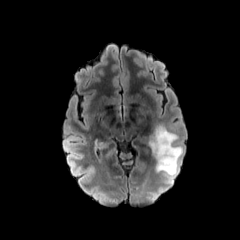
FLAIR magnetic resonance.
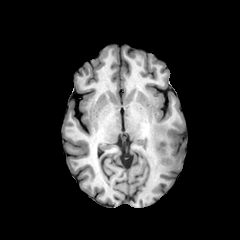
Same slice, T1-weighted MRI.
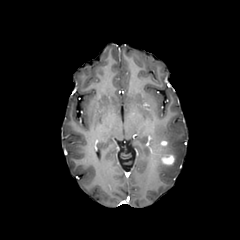
Post-contrast T1-weighted MR image.
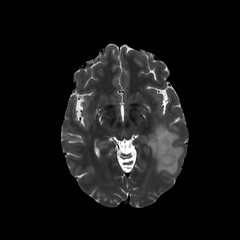
T2-weighted magnetic resonance.
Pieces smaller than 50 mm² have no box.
peritumoral_edema:
  - [x1=149, y1=123, x2=183, y2=179]
enhancing_tumor:
  - [x1=161, y1=155, x2=174, y2=164]